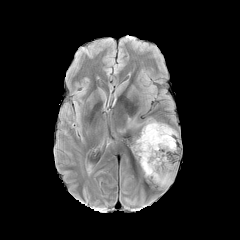
FLAIR MR image.
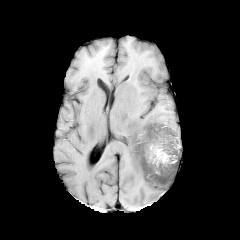
T1-weighted MRI.
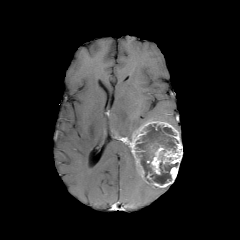
Post-contrast T1-weighted magnetic resonance.
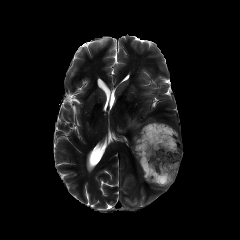
T2-weighted MR.
Brain | Axial plane
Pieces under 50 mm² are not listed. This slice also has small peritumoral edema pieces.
Findings:
• enhancing tumor: x1=128 y1=120 x2=182 y2=187
• necrotic tumor core: x1=136 y1=124 x2=178 y2=184